FLAIR magnetic resonance.
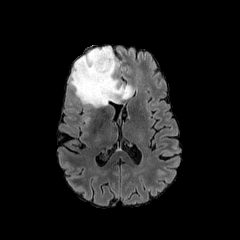
T1-weighted MR.
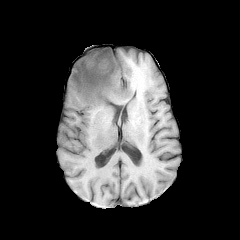
Post-contrast T1-weighted magnetic resonance.
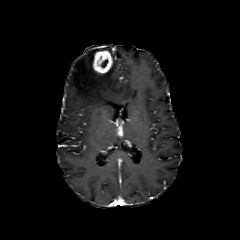
T2-weighted magnetic resonance.
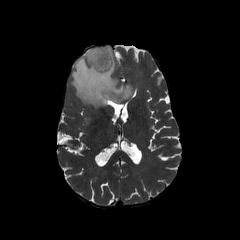
Axial view
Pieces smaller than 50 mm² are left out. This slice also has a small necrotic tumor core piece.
The enhancing tumor is located at left=93, top=51, right=113, bottom=73. The peritumoral edema is located at left=69, top=47, right=133, bottom=107.